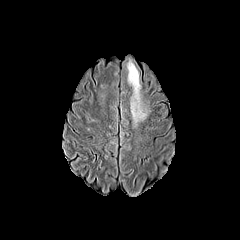
FLAIR MRI.
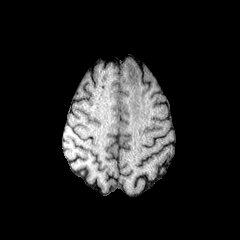
T1-weighted MR.
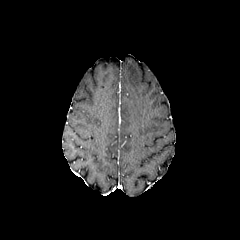
Post-contrast T1-weighted MR.
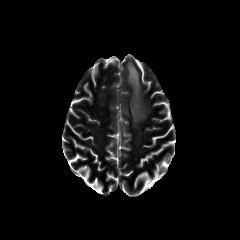
T2-weighted MR of the same slice.
Axial plane. Brain.
<segmentation>
  <peritumoral_edema>[127,61,146,124]</peritumoral_edema>
</segmentation>